Axial view, Brain, Slice 74 of 155
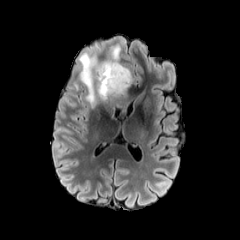
FLAIR MR image.
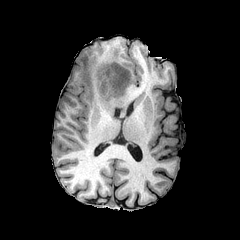
T1-weighted magnetic resonance.
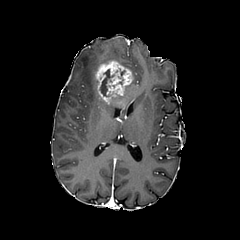
Same slice, post-contrast T1-weighted MRI.
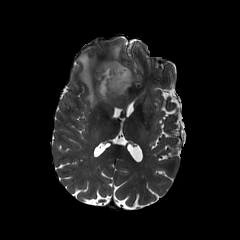
T2-weighted MR.
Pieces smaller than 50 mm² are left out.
necrotic tumor core = [109, 68, 125, 88], [100, 68, 113, 96]
peritumoral edema = [102, 45, 119, 62], [79, 53, 99, 109]
enhancing tumor = [95, 60, 132, 104]